FLAIR MR.
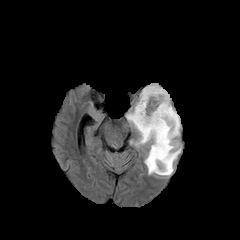
T1-weighted MR image.
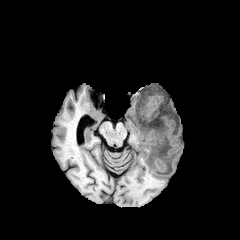
Post-contrast T1-weighted MRI.
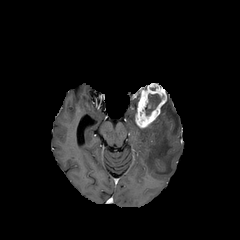
T2-weighted MR.
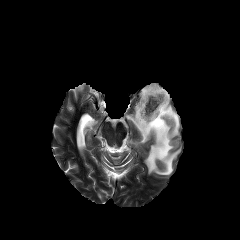
Head; Axial plane
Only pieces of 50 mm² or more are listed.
peritumoral_edema:
  - <box>126,96,181,175</box>
enhancing_tumor:
  - <box>135,83,167,128</box>
necrotic_tumor_core:
  - <box>145,94,160,114</box>